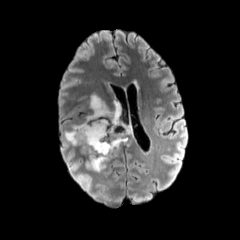
FLAIR MR image.
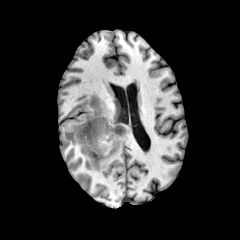
T1-weighted magnetic resonance of the same slice.
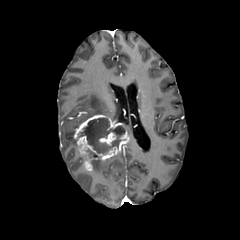
Post-contrast T1-weighted magnetic resonance of the same slice.
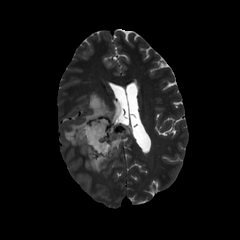
T2-weighted magnetic resonance.
Axial plane; Image size 240x240; Head
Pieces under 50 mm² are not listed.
<segmentation>
  <enhancing_tumor>(99,132,116,145), (73,114,128,170)</enhancing_tumor>
  <peritumoral_edema>(84,94,120,120), (91,159,109,171), (64,124,79,145)</peritumoral_edema>
  <necrotic_tumor_core>(79,118,124,154), (87,149,99,158)</necrotic_tumor_core>
</segmentation>